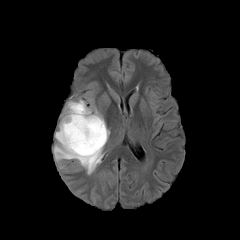
FLAIR magnetic resonance.
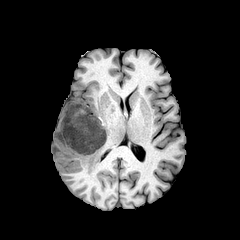
T1-weighted magnetic resonance of the same slice.
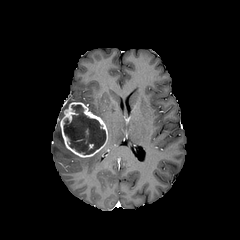
Same slice, post-contrast T1-weighted MR.
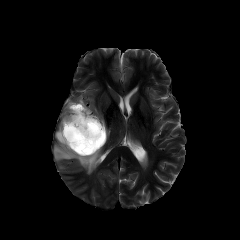
T2-weighted MRI.
Axial plane; Head
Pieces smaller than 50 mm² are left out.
peritumoral edema: x1=93, y1=108, x2=104, y2=121; x1=53, y1=124, x2=102, y2=174
enhancing tumor: x1=60, y1=102, x2=108, y2=157
necrotic tumor core: x1=64, y1=105, x2=105, y2=154